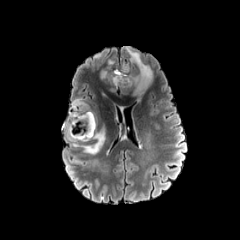
FLAIR magnetic resonance.
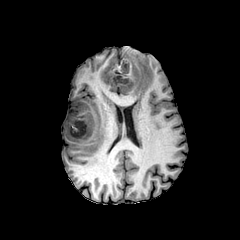
T1-weighted MR.
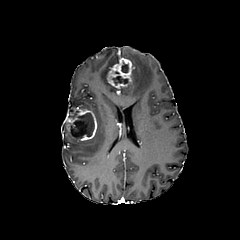
Post-contrast T1-weighted MR image of the same slice.
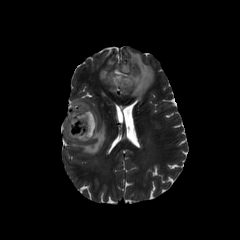
T2-weighted MR.
Image size 240x240
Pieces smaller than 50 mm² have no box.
The 4 largest peritumoral edema regions are located at region(126, 47, 153, 101); region(66, 127, 105, 154); region(72, 99, 88, 109); region(100, 69, 107, 79). 2 enhancing tumor regions appear at region(107, 58, 134, 88); region(64, 107, 97, 140). The 3 largest necrotic tumor core regions are located at region(112, 76, 128, 84); region(70, 113, 94, 138); region(121, 62, 128, 72).